FLAIR MR image.
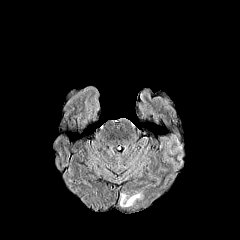
T1-weighted magnetic resonance.
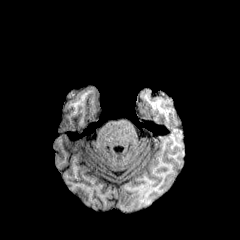
Post-contrast T1-weighted MRI.
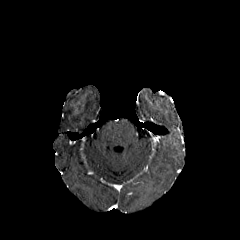
T2-weighted magnetic resonance.
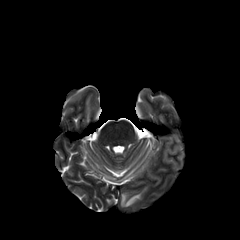
Brain | Image size 240x240 | Axial plane
peritumoral edema: [120, 192, 141, 206]